FLAIR MR.
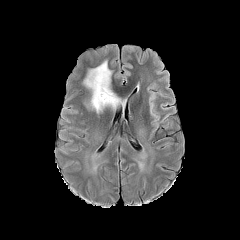
T1-weighted MR.
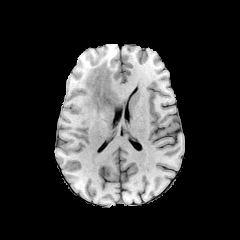
Post-contrast T1-weighted MR.
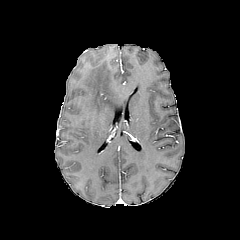
T2-weighted MR image.
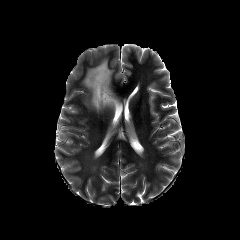
Axial view; Brain
peritumoral edema: left=79, top=60, right=124, bottom=113